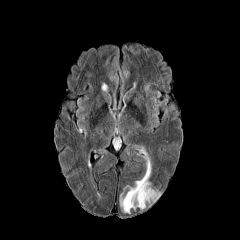
FLAIR MR image.
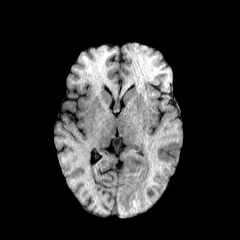
T1-weighted MRI.
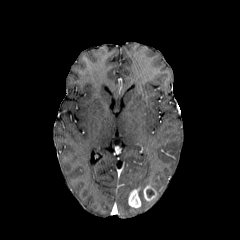
Post-contrast T1-weighted MR.
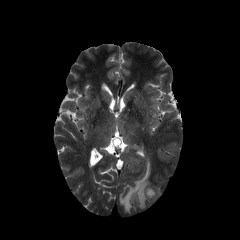
Same slice, T2-weighted magnetic resonance.
240x240 px
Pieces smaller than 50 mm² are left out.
enhancing tumor: bounding box [x1=143, y1=185, x2=156, y2=201], [x1=128, y1=187, x2=141, y2=207]
necrotic tumor core: bounding box [x1=146, y1=189, x2=154, y2=197]
peritumoral edema: bounding box [x1=152, y1=188, x2=161, y2=201], [x1=119, y1=147, x2=151, y2=213]